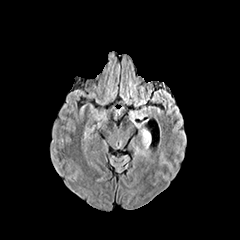
FLAIR MR.
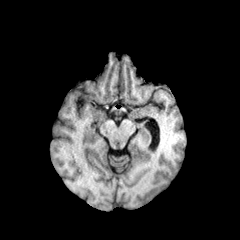
Same slice, T1-weighted MR.
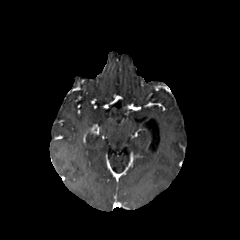
Post-contrast T1-weighted MR image.
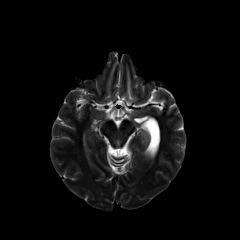
T2-weighted MR of the same slice.
Axial view; Brain
<segmentation>
  <peritumoral_edema>x1=144 y1=135 x2=149 y2=147</peritumoral_edema>
</segmentation>